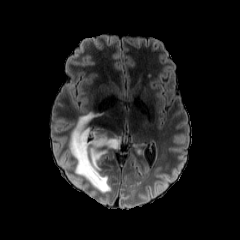
FLAIR MRI.
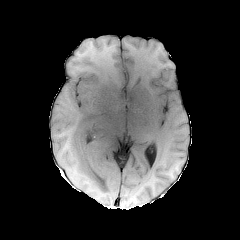
T1-weighted MRI.
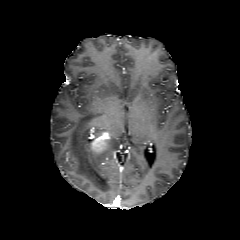
Post-contrast T1-weighted MR image.
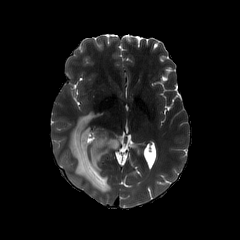
T2-weighted MRI of the same slice.
Brain
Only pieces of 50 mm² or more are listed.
enhancing_tumor:
  - [x1=90, y1=132, x2=109, y2=151]
peritumoral_edema:
  - [x1=69, y1=112, x2=120, y2=192]